Brain | Slice 67 of 155
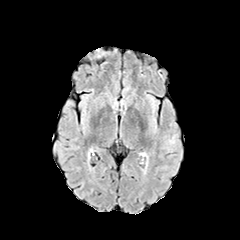
FLAIR MR.
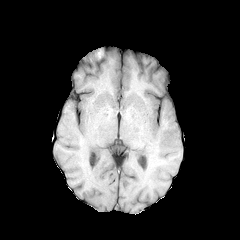
T1-weighted MR of the same slice.
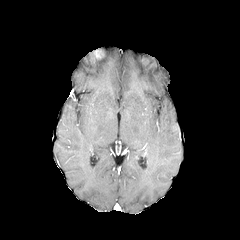
Post-contrast T1-weighted magnetic resonance.
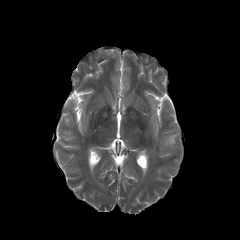
T2-weighted magnetic resonance.
peritumoral_edema:
  - (164,134,176,145)